Image width 240 mm, Slice 63/155, Head
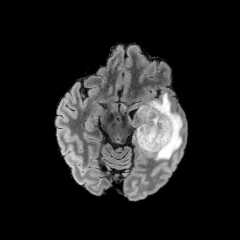
FLAIR MRI.
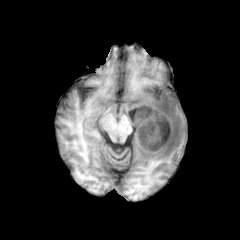
T1-weighted MR.
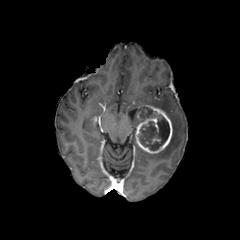
Same slice, post-contrast T1-weighted MR.
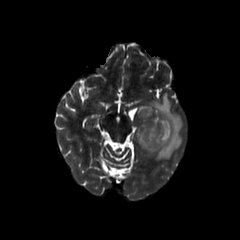
T2-weighted MR image of the same slice.
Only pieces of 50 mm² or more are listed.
necrotic tumor core: region(139, 116, 169, 150); region(142, 107, 152, 118) | enhancing tumor: region(135, 105, 172, 153) | peritumoral edema: region(143, 93, 183, 160)